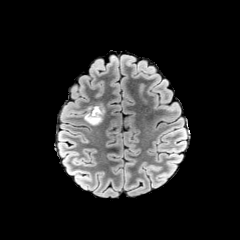
FLAIR MR.
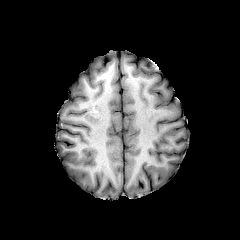
T1-weighted MR image.
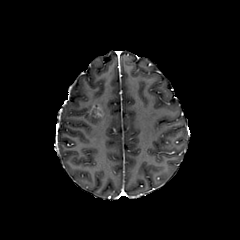
Post-contrast T1-weighted magnetic resonance of the same slice.
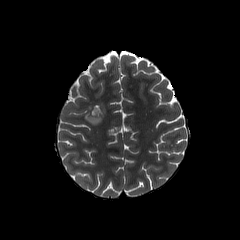
T2-weighted MR.
Axial view
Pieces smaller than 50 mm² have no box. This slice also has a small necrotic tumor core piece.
peritumoral edema at 84 107 103 125
enhancing tumor at 90 106 103 117